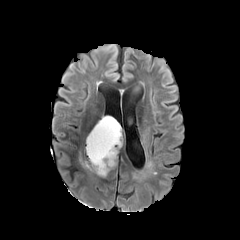
FLAIR magnetic resonance.
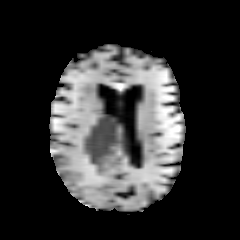
T1-weighted MR.
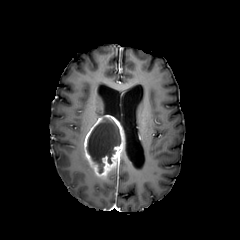
Same slice, post-contrast T1-weighted magnetic resonance.
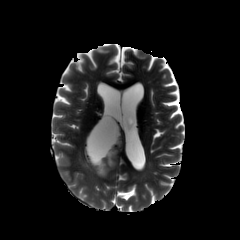
T2-weighted magnetic resonance.
Axial slice
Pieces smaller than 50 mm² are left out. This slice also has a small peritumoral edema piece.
necrotic tumor core: bounding box bbox(87, 118, 120, 173)
enhancing tumor: bounding box bbox(84, 115, 124, 177)